Axial view
FLAIR MRI.
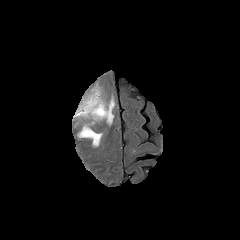
T1-weighted MRI.
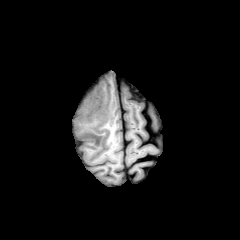
Post-contrast T1-weighted MR.
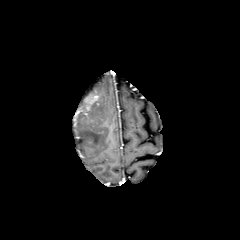
T2-weighted magnetic resonance.
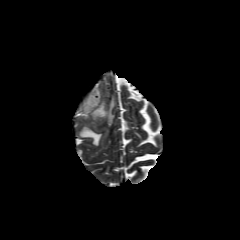
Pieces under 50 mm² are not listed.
peritumoral edema = {"x1": 75, "y1": 89, "x2": 114, "y2": 124}, {"x1": 78, "y1": 125, "x2": 102, "y2": 146}
enhancing tumor = {"x1": 84, "y1": 91, "x2": 99, "y2": 110}